Brain
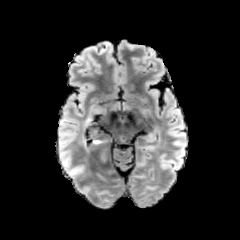
FLAIR MR.
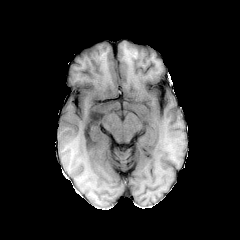
T1-weighted MR image of the same slice.
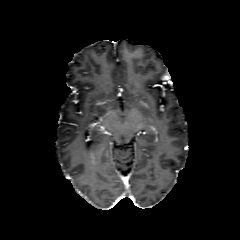
Post-contrast T1-weighted MR of the same slice.
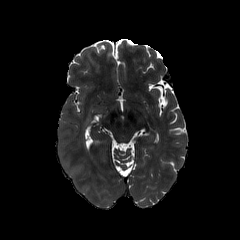
T2-weighted MR.
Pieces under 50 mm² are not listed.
• peritumoral edema: 90:151:97:165